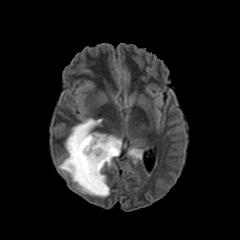
FLAIR MRI.
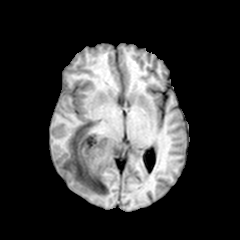
T1-weighted magnetic resonance.
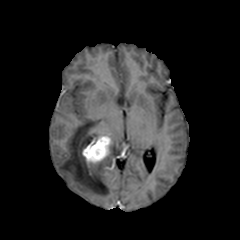
Same slice, post-contrast T1-weighted magnetic resonance.
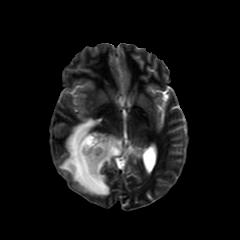
T2-weighted MR of the same slice.
Image size 240x240 | Axial slice
Annotated regions:
• peritumoral edema: (x1=128, y1=148, x2=142, y2=162), (x1=59, y1=118, x2=121, y2=196)
• enhancing tumor: (x1=82, y1=135, x2=112, y2=163)